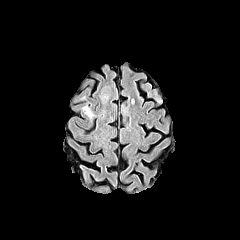
FLAIR MR.
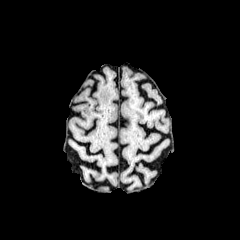
T1-weighted MR image.
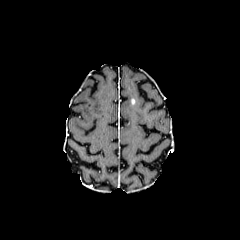
Post-contrast T1-weighted MR of the same slice.
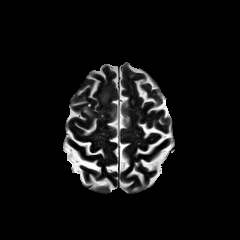
T2-weighted magnetic resonance of the same slice.
Axial plane; Image size 240x240; Head
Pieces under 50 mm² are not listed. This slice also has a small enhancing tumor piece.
peritumoral_edema:
  - left=82, top=106, right=93, bottom=117